Slice 73 of 155. Brain.
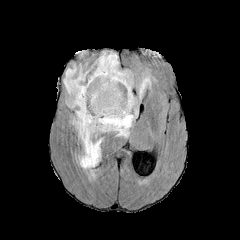
FLAIR MRI.
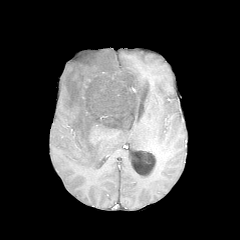
Same slice, T1-weighted MRI.
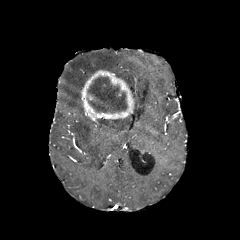
Post-contrast T1-weighted MR of the same slice.
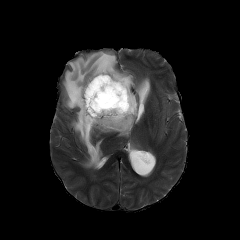
Same slice, T2-weighted MR.
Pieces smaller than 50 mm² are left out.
The enhancing tumor is located at region(81, 70, 134, 121). The largest peritumoral edema region lies within region(63, 51, 149, 168). The necrotic tumor core lies within region(87, 76, 127, 112).